Slice index 64.
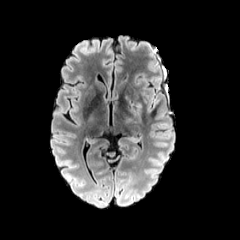
FLAIR magnetic resonance.
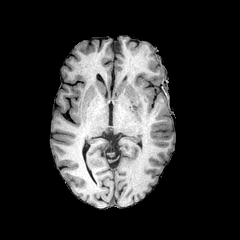
T1-weighted MR.
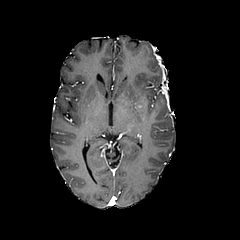
Post-contrast T1-weighted magnetic resonance.
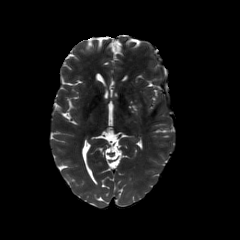
Same slice, T2-weighted MR.
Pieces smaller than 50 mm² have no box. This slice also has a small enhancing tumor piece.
peritumoral_edema:
  - (left=124, top=95, right=141, bottom=115)